Slice 119/155. Head. Axial view.
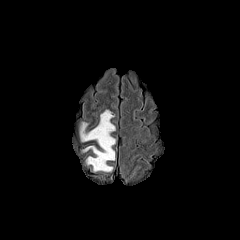
FLAIR MR image.
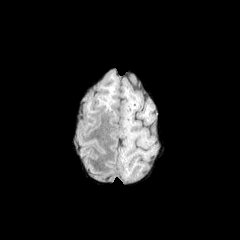
T1-weighted MR image of the same slice.
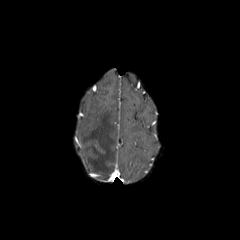
Post-contrast T1-weighted MRI of the same slice.
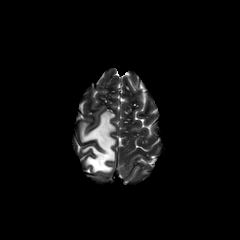
Same slice, T2-weighted MRI.
The peritumoral edema lies within (left=80, top=110, right=115, bottom=172).